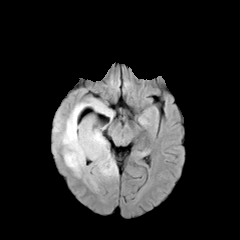
FLAIR MR image.
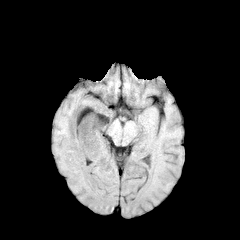
T1-weighted magnetic resonance.
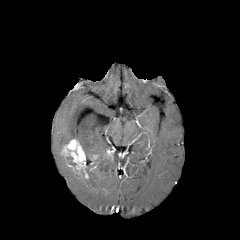
Post-contrast T1-weighted magnetic resonance.
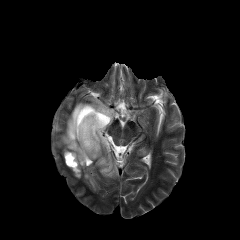
T2-weighted MR.
Brain
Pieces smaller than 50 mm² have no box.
necrotic tumor core = box=[66, 156, 76, 166]
enhancing tumor = box=[62, 139, 88, 178]
peritumoral edema = box=[56, 98, 117, 190]; box=[54, 120, 60, 132]